Image covers 240 mm x 240 mm. Brain. Axial slice.
FLAIR MR.
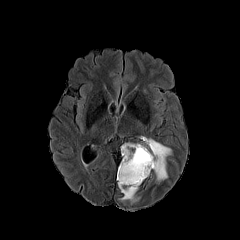
T1-weighted MR.
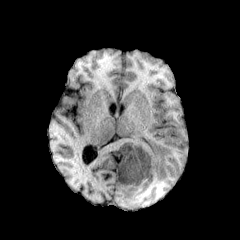
Post-contrast T1-weighted MR image.
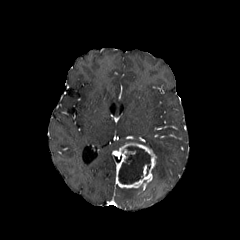
T2-weighted MR.
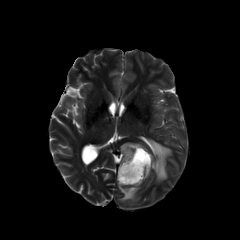
The necrotic tumor core is at 118, 146, 150, 184. 2 peritumoral edema regions are located at 119, 187, 138, 202; 142, 137, 171, 181. The enhancing tumor is located at 116, 142, 156, 188.